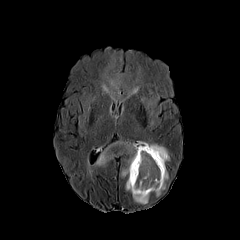
FLAIR MRI.
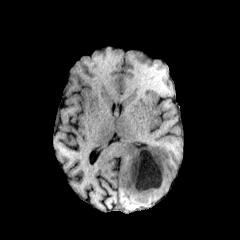
T1-weighted MR image.
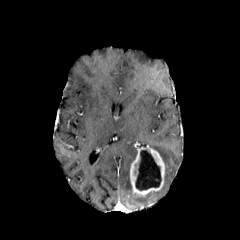
Post-contrast T1-weighted MRI.
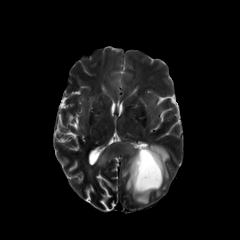
T2-weighted MR image.
Axial plane; Head
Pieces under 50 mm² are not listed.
The largest necrotic tumor core region is at left=135, top=150, right=161, bottom=190. The largest enhancing tumor region lies within left=130, top=145, right=165, bottom=196. 5 peritumoral edema regions are bounded by left=155, top=169, right=168, bottom=196; left=141, top=95, right=161, bottom=127; left=95, top=141, right=149, bottom=204; left=101, top=58, right=139, bottom=99; left=138, top=141, right=169, bottom=162.